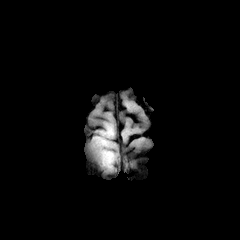
FLAIR magnetic resonance.
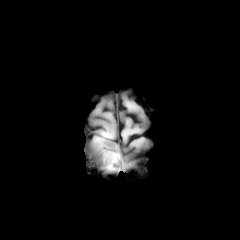
T1-weighted magnetic resonance.
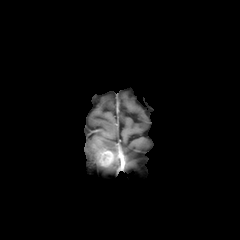
Post-contrast T1-weighted MR.
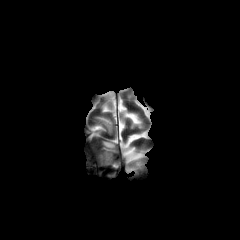
T2-weighted MRI.
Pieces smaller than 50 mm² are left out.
enhancing tumor — l=97, t=150, r=113, b=165
peritumoral edema — l=105, t=123, r=113, b=135; l=98, t=137, r=114, b=147